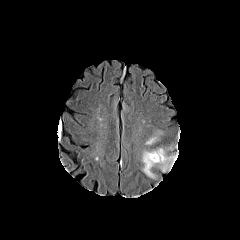
FLAIR MRI.
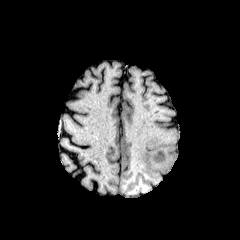
T1-weighted MR.
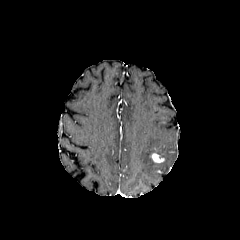
Same slice, post-contrast T1-weighted MR image.
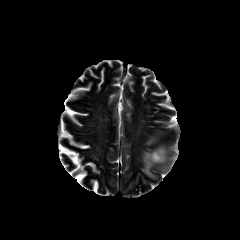
T2-weighted MR of the same slice.
Axial slice; Head
2 peritumoral edema regions appear at 142, 148, 176, 178; 146, 137, 156, 144. The enhancing tumor lies within 151, 152, 164, 162.